FLAIR MRI.
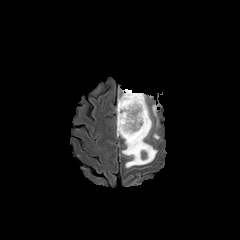
T1-weighted MR.
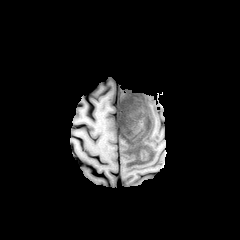
Post-contrast T1-weighted MR.
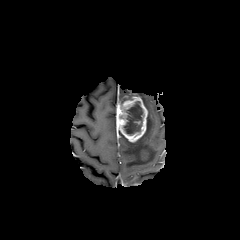
T2-weighted MR image.
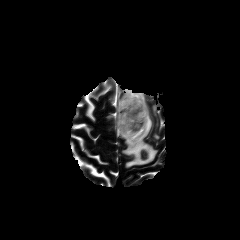
Axial plane
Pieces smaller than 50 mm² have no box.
necrotic tumor core: [124, 101, 142, 134] | enhancing tumor: [140, 149, 148, 161], [117, 93, 147, 142] | peritumoral edema: [116, 89, 157, 168], [152, 104, 158, 116]